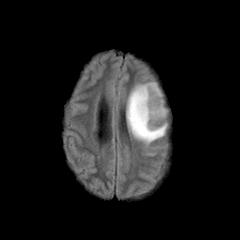
FLAIR MRI.
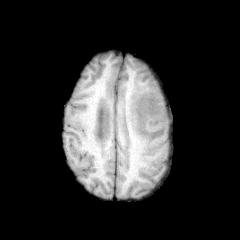
T1-weighted MRI.
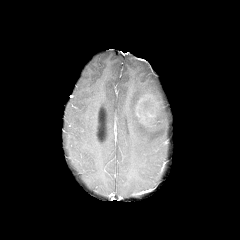
Post-contrast T1-weighted MR image.
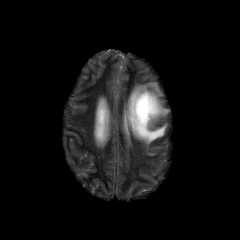
T2-weighted MR image of the same slice.
Brain. Axial view.
Segmented structures:
• enhancing tumor: [x1=136, y1=95, x2=157, y2=122]
• peritumoral edema: [x1=126, y1=82, x2=167, y2=145]